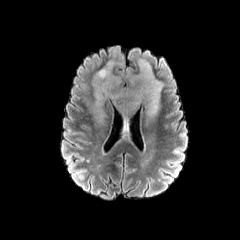
FLAIR MR image.
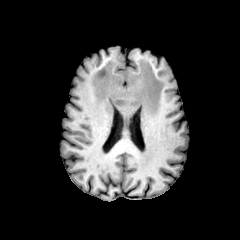
T1-weighted MR.
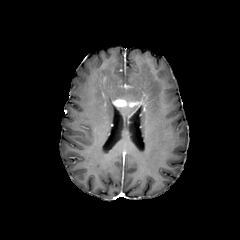
Same slice, post-contrast T1-weighted MR image.
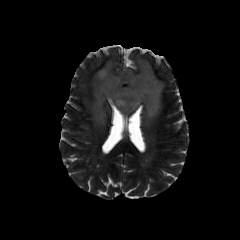
T2-weighted MR image of the same slice.
Axial slice | Brain | Image size 240x240
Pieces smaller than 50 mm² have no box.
peritumoral edema — 92,59,163,130
enhancing tumor — 114,99,140,107